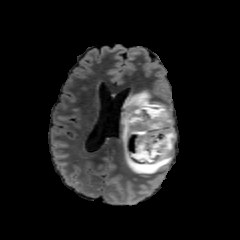
FLAIR MR image.
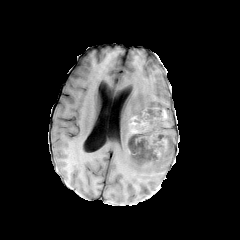
Same slice, T1-weighted MRI.
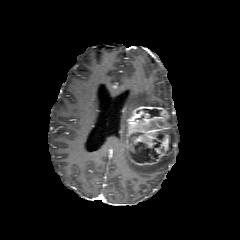
Post-contrast T1-weighted MR image.
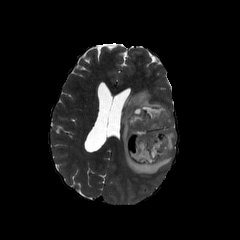
Same slice, T2-weighted MRI.
Brain. Axial slice.
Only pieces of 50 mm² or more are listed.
The 2 largest necrotic tumor core regions are bounded by {"x1": 130, "y1": 132, "x2": 162, "y2": 162}, {"x1": 136, "y1": 109, "x2": 160, "y2": 117}. The enhancing tumor is bounded by {"x1": 126, "y1": 105, "x2": 173, "y2": 168}. The 2 largest peritumoral edema regions appear at {"x1": 121, "y1": 91, "x2": 172, "y2": 174}, {"x1": 171, "y1": 128, "x2": 175, "y2": 142}.